Image covers 240 mm x 240 mm
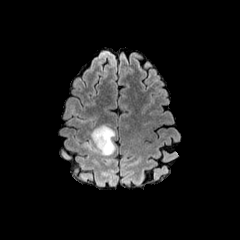
FLAIR MRI.
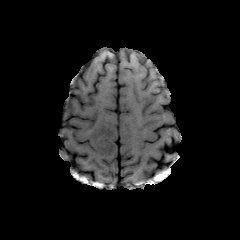
T1-weighted MRI of the same slice.
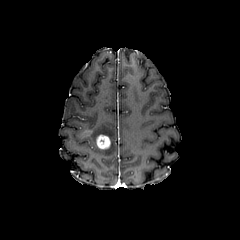
Same slice, post-contrast T1-weighted MR image.
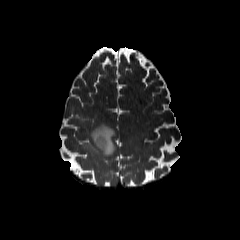
T2-weighted MR of the same slice.
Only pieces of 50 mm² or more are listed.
peritumoral_edema:
  - {"x1": 83, "y1": 124, "x2": 115, "y2": 156}
enhancing_tumor:
  - {"x1": 96, "y1": 135, "x2": 110, "y2": 149}